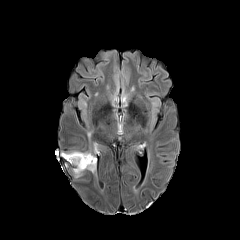
FLAIR MRI.
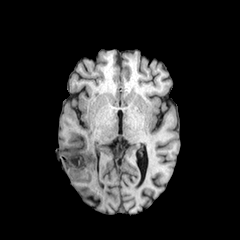
T1-weighted magnetic resonance.
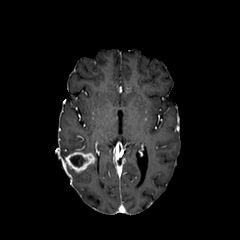
Same slice, post-contrast T1-weighted MRI.
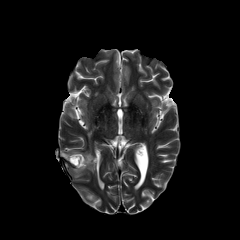
T2-weighted MR of the same slice.
Brain.
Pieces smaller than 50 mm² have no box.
peritumoral edema: left=87, top=158, right=96, bottom=172 | necrotic tumor core: left=70, top=155, right=85, bottom=166 | enhancing tumor: left=65, top=151, right=95, bottom=172